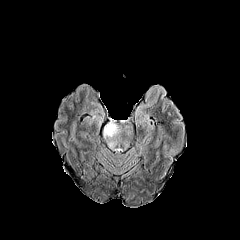
FLAIR MR image.
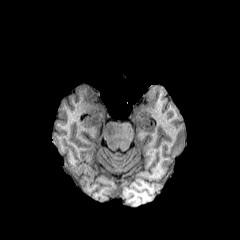
Same slice, T1-weighted MRI.
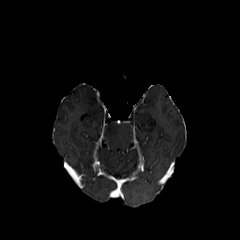
Same slice, post-contrast T1-weighted magnetic resonance.
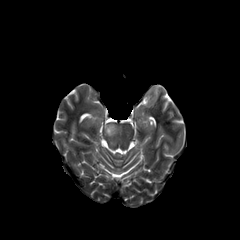
T2-weighted magnetic resonance.
Image size 240x240
peritumoral_edema:
  - 104:123:119:146